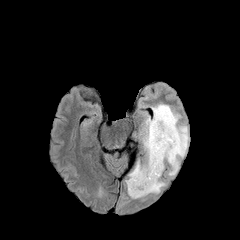
FLAIR MR.
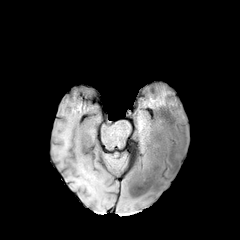
T1-weighted MR image of the same slice.
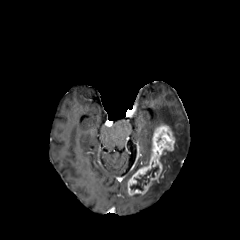
Post-contrast T1-weighted MR.
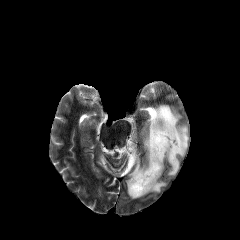
Same slice, T2-weighted MR image.
Axial view. 240x240.
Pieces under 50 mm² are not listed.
necrotic tumor core at 130:166:158:190
peritumoral edema at 128:104:189:198
enhancing tumor at 127:123:175:196